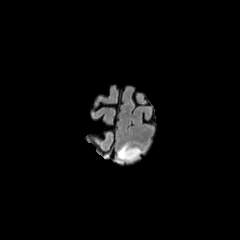
FLAIR MRI.
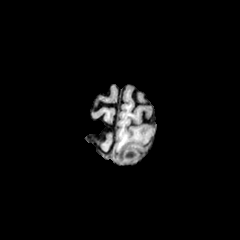
Same slice, T1-weighted magnetic resonance.
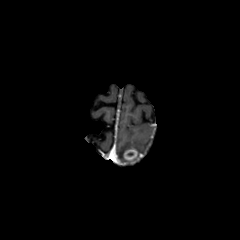
Post-contrast T1-weighted MR image of the same slice.
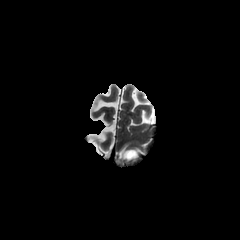
Same slice, T2-weighted MR.
Axial view; Head; Image size 240x240
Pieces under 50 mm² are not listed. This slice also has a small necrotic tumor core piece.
Findings:
• peritumoral edema: x1=117, y1=143, x2=141, y2=161
• enhancing tumor: x1=122, y1=148, x2=140, y2=162